FLAIR magnetic resonance.
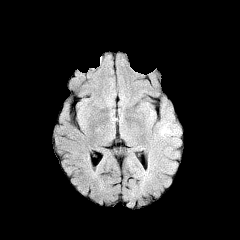
T1-weighted MRI.
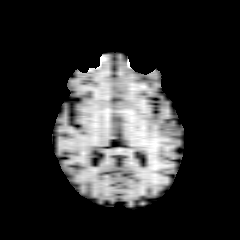
Post-contrast T1-weighted MR image.
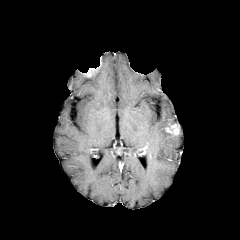
T2-weighted MR.
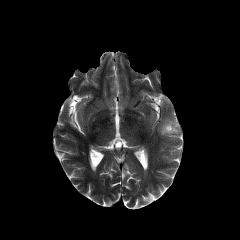
Axial plane, Head
peritumoral edema: 159,120,171,137 | enhancing tumor: 164,120,180,136